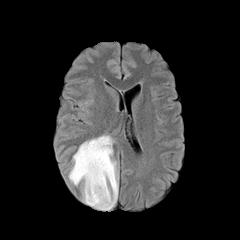
FLAIR MR.
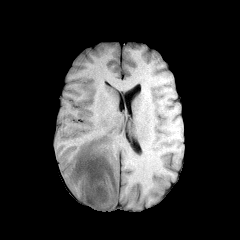
T1-weighted MRI of the same slice.
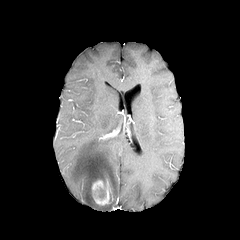
Same slice, post-contrast T1-weighted MRI.
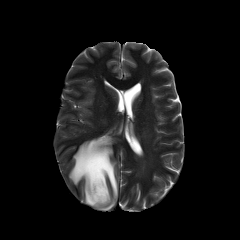
T2-weighted MR of the same slice.
Axial plane
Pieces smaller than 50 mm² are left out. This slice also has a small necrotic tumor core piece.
The peritumoral edema appears at box(68, 135, 118, 210). The enhancing tumor is at box(91, 179, 110, 205).